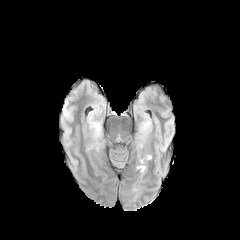
FLAIR magnetic resonance.
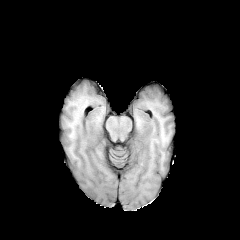
Same slice, T1-weighted MRI.
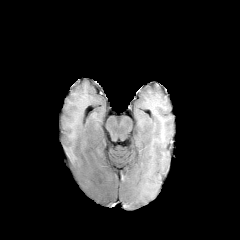
Post-contrast T1-weighted MR image.
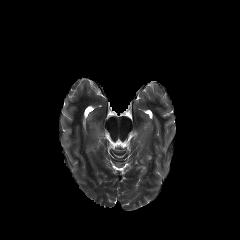
T2-weighted MR.
240x240 | Head
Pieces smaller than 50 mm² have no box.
- peritumoral edema: bbox(137, 165, 146, 172); bbox(93, 126, 101, 137)